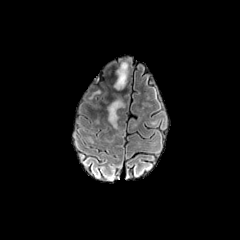
FLAIR MR image.
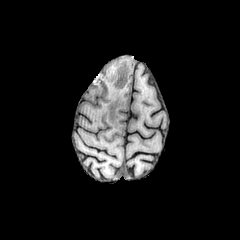
Same slice, T1-weighted MR.
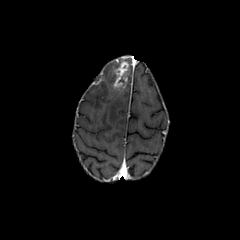
Post-contrast T1-weighted MRI.
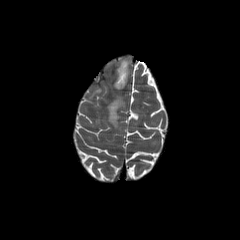
T2-weighted MR.
240x240.
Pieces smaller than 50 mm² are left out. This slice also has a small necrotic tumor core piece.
The largest peritumoral edema region is bounded by (left=108, top=99, right=124, bottom=128). The enhancing tumor is bounded by (left=113, top=60, right=129, bottom=89).